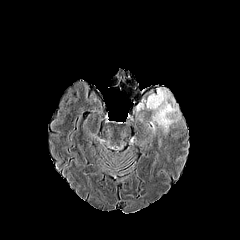
FLAIR MR image.
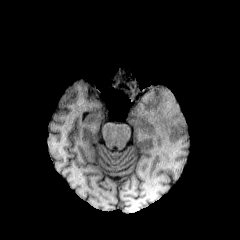
Same slice, T1-weighted MRI.
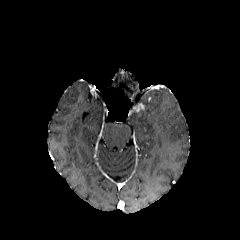
Post-contrast T1-weighted MRI.
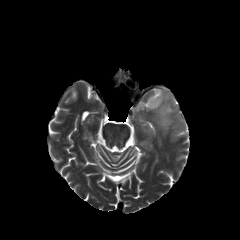
T2-weighted MRI.
Head. Axial slice.
The enhancing tumor is located at {"x1": 134, "y1": 103, "x2": 143, "y2": 111}. The peritumoral edema lies within {"x1": 146, "y1": 89, "x2": 179, "y2": 132}.